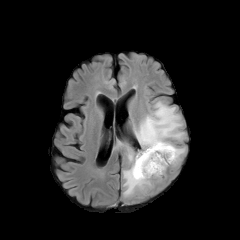
FLAIR MR.
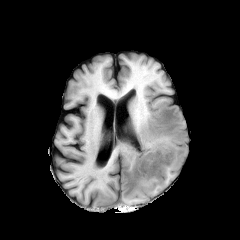
T1-weighted magnetic resonance of the same slice.
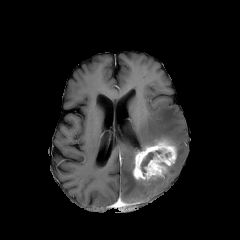
Post-contrast T1-weighted MR image.
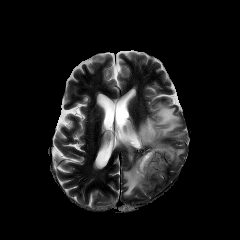
Same slice, T2-weighted MRI.
Brain
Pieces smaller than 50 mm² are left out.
The 3 largest peritumoral edema regions are bounded by (123, 145, 155, 197), (173, 146, 185, 164), (134, 102, 184, 149). The enhancing tumor is at (133, 139, 176, 181). The largest necrotic tumor core region is at (141, 152, 153, 172).